Image covers 240 mm x 240 mm. Slice index 80. Head.
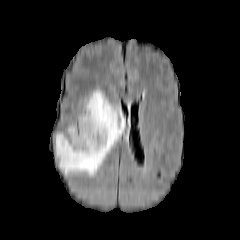
FLAIR MRI.
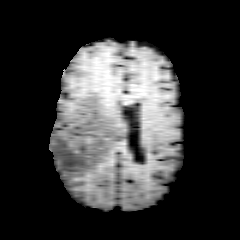
T1-weighted magnetic resonance of the same slice.
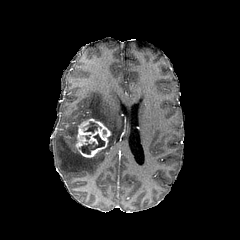
Post-contrast T1-weighted magnetic resonance.
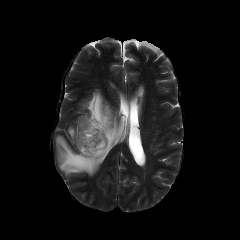
T2-weighted magnetic resonance of the same slice.
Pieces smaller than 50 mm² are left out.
{"enhancing_tumor": ["(left=75, top=118, right=111, bottom=157)"], "peritumoral_edema": ["(left=56, top=89, right=124, bottom=176)"], "necrotic_tumor_core": ["(left=84, top=122, right=98, bottom=132)", "(left=79, top=134, right=104, bottom=154)"]}